Axial plane; Head
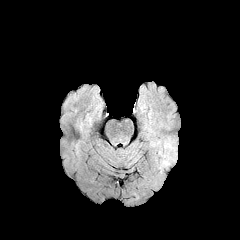
FLAIR MR image.
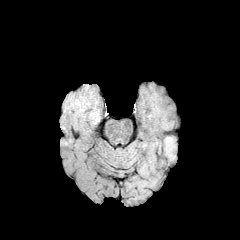
T1-weighted MRI of the same slice.
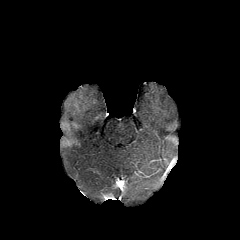
Post-contrast T1-weighted MRI.
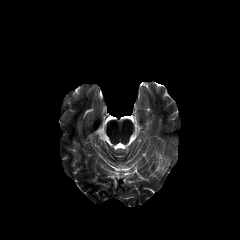
T2-weighted MR.
peritumoral edema: box=[163, 155, 176, 168]